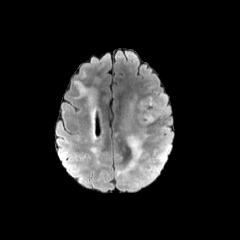
FLAIR MR.
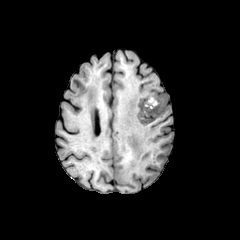
T1-weighted MR image.
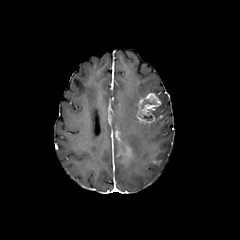
Same slice, post-contrast T1-weighted MRI.
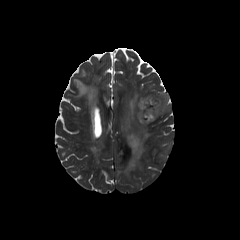
T2-weighted magnetic resonance.
Brain; 240x240 px
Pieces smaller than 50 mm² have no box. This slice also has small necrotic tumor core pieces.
Segmented structures:
* peritumoral edema: [x1=116, y1=123, x2=148, y2=177], [x1=153, y1=143, x2=170, y2=161], [x1=156, y1=94, x2=169, y2=119]
* enhancing tumor: [x1=137, y1=93, x2=161, y2=124]